FLAIR MRI.
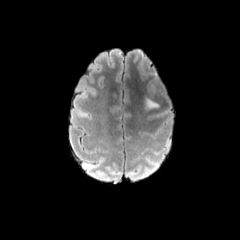
T1-weighted magnetic resonance.
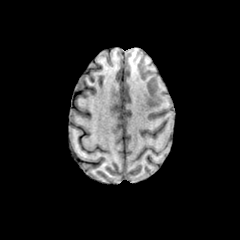
Post-contrast T1-weighted MR image.
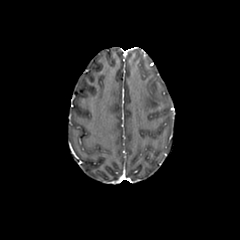
T2-weighted magnetic resonance.
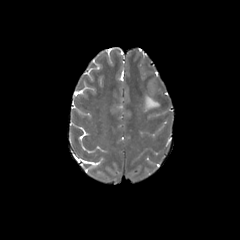
Head
peritumoral_edema:
  - l=145, t=98, r=158, b=108